Head; Image width 240 mm; Slice index 133
FLAIR MR image.
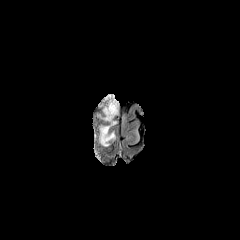
T1-weighted MR image.
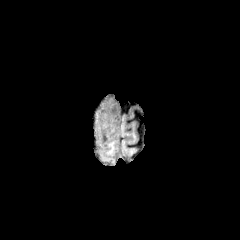
Post-contrast T1-weighted MRI.
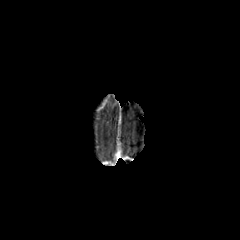
T2-weighted MRI.
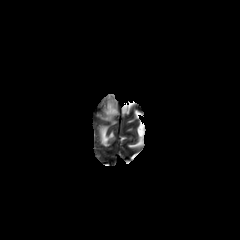
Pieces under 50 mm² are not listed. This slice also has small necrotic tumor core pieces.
peritumoral edema — region(105, 107, 117, 121); region(100, 122, 115, 146)
enhancing tumor — region(102, 96, 117, 108)